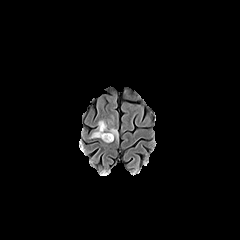
FLAIR magnetic resonance.
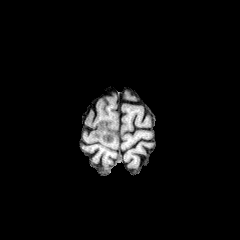
T1-weighted MR image.
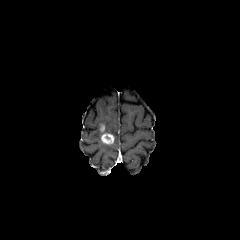
Same slice, post-contrast T1-weighted magnetic resonance.
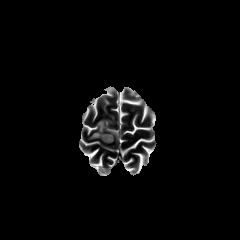
Same slice, T2-weighted MR.
Head; Axial plane
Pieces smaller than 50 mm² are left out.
<segmentation>
  <peritumoral_edema>109 128 118 140, 90 120 107 138</peritumoral_edema>
  <enhancing_tumor>100 123 114 144</enhancing_tumor>
</segmentation>